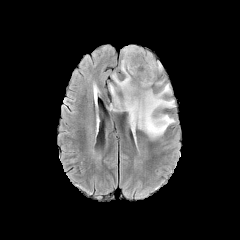
FLAIR MRI.
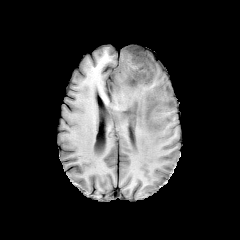
T1-weighted MR image of the same slice.
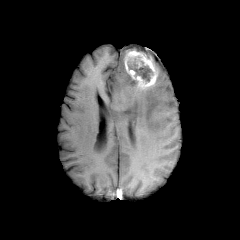
Same slice, post-contrast T1-weighted MR image.
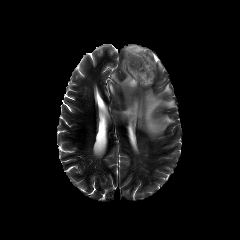
T2-weighted MR image.
Image size 240x240, Head
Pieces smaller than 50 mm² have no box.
- enhancing tumor: [124, 48, 158, 90]
- necrotic tumor core: [128, 63, 151, 81]
- peritumoral edema: [156, 61, 162, 71], [122, 45, 144, 56], [109, 57, 175, 138]